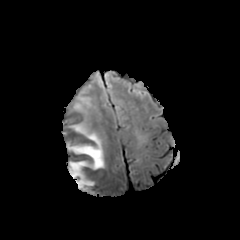
FLAIR MRI.
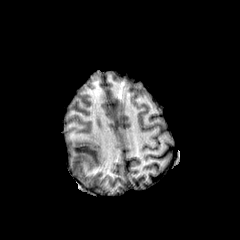
T1-weighted magnetic resonance.
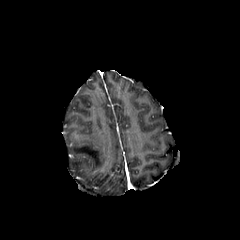
Same slice, post-contrast T1-weighted magnetic resonance.
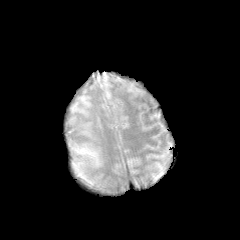
T2-weighted MRI.
240x240 px.
Findings:
- peritumoral edema: 68 122 104 185